Axial slice. Slice 96 of 155. Image width 240 mm.
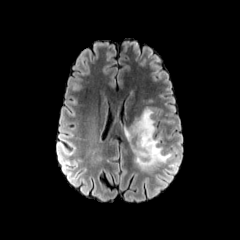
FLAIR MRI.
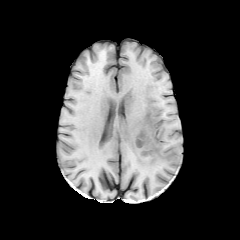
Same slice, T1-weighted MR.
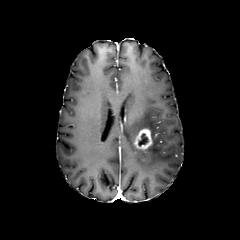
Post-contrast T1-weighted MRI.
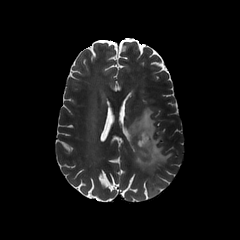
T2-weighted MR image.
The necrotic tumor core lies within rect(138, 133, 148, 146). The peritumoral edema appears at rect(123, 107, 171, 174). The enhancing tumor is at rect(134, 128, 152, 154).